FLAIR MR.
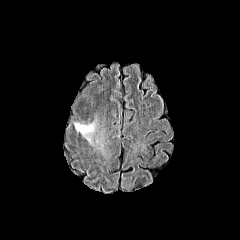
T1-weighted magnetic resonance.
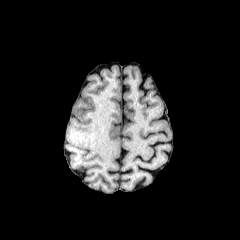
Post-contrast T1-weighted magnetic resonance.
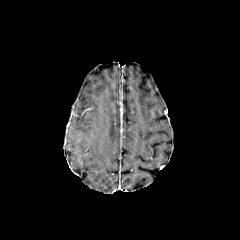
T2-weighted MR image.
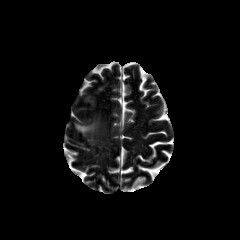
Head
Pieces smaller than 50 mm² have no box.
The largest peritumoral edema region is located at [75,122,95,135].